Slice 100/155, 240x240, Image covers 240 mm x 240 mm, Axial slice
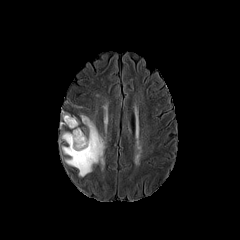
FLAIR MR image.
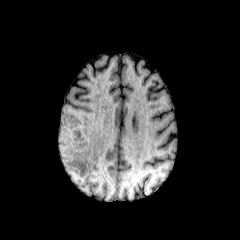
T1-weighted magnetic resonance.
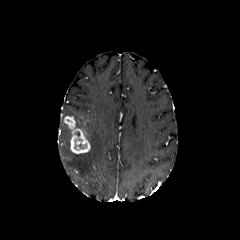
Post-contrast T1-weighted MR image of the same slice.
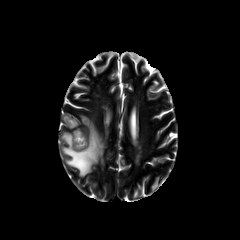
T2-weighted magnetic resonance.
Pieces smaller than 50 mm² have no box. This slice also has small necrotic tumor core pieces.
• enhancing tumor: x1=64 y1=116 x2=90 y2=153
• peritumoral edema: x1=61 y1=115 x2=105 y2=177